Slice index 78 | Axial plane | Image covers 240 mm x 240 mm | Image size 240x240
FLAIR magnetic resonance.
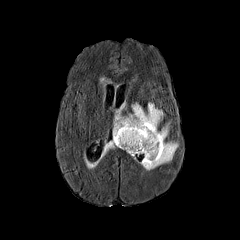
T1-weighted MR.
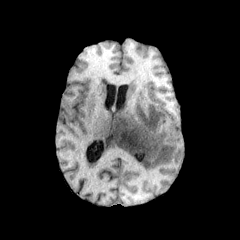
Post-contrast T1-weighted MRI.
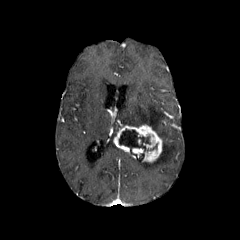
T2-weighted MR.
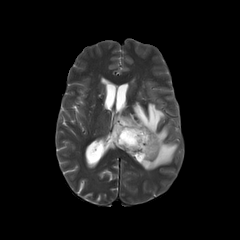
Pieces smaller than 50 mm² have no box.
The 2 largest peritumoral edema regions are bounded by (105, 140, 117, 152), (113, 103, 178, 170). The largest enhancing tumor region is bounded by (113, 121, 162, 162). The largest necrotic tumor core region is at (119, 129, 150, 151).